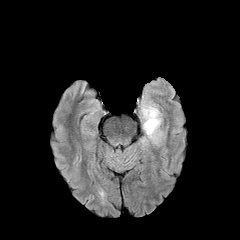
FLAIR MR.
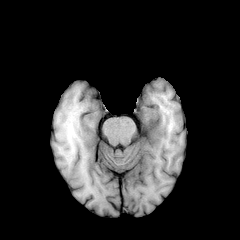
Same slice, T1-weighted MRI.
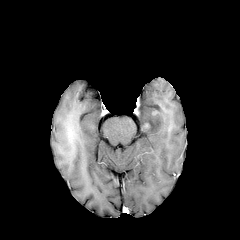
Post-contrast T1-weighted MRI of the same slice.
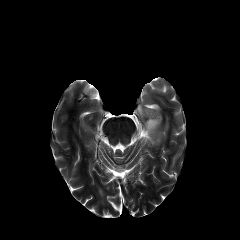
T2-weighted MR.
Image size 240x240
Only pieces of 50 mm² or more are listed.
The peritumoral edema appears at [141, 106, 162, 143]. The 2 largest enhancing tumor regions are located at [142, 122, 150, 132], [151, 109, 159, 116].